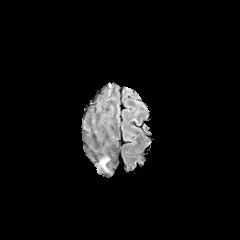
FLAIR MR image.
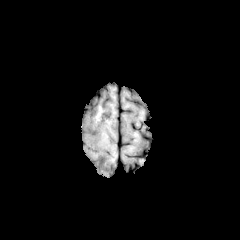
T1-weighted MR image of the same slice.
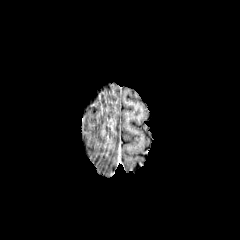
Same slice, post-contrast T1-weighted magnetic resonance.
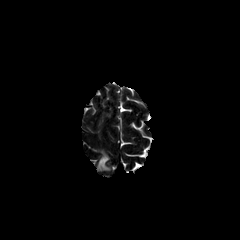
Same slice, T2-weighted MR.
Brain
peritumoral edema — left=98, top=156, right=109, bottom=171